FLAIR MR image.
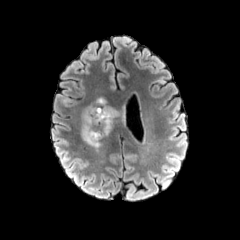
T1-weighted MR.
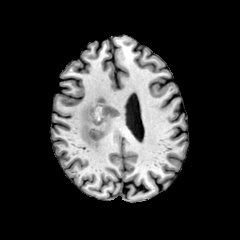
Post-contrast T1-weighted MR image.
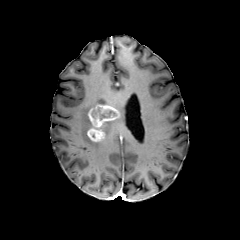
T2-weighted MRI.
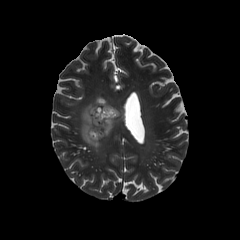
Brain, Axial plane
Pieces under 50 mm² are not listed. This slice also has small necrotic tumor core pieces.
- peritumoral edema: rect(81, 98, 107, 147); rect(104, 121, 113, 136)
- enhancing tumor: rect(87, 104, 119, 142)